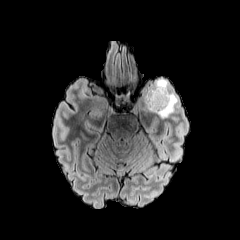
FLAIR magnetic resonance.
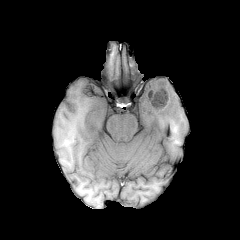
T1-weighted MR image.
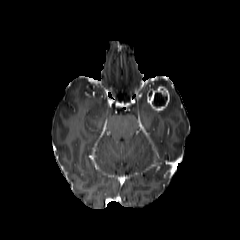
Post-contrast T1-weighted MRI.
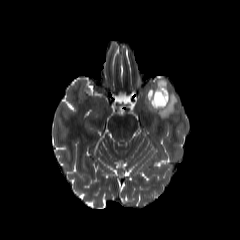
T2-weighted MRI.
Brain
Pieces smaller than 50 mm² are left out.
enhancing_tumor:
  - [147,86,169,111]
necrotic_tumor_core:
  - [152,88,167,106]
peritumoral_edema:
  - [144,78,178,118]